FLAIR MR.
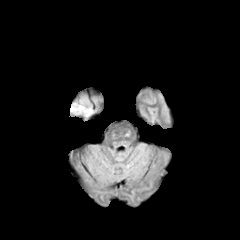
T1-weighted MRI.
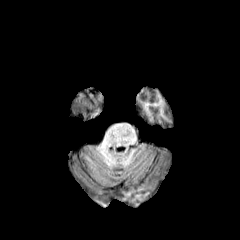
Post-contrast T1-weighted MR.
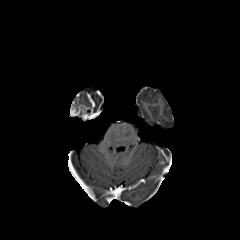
T2-weighted MRI.
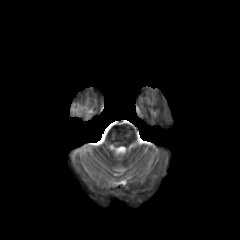
Axial plane.
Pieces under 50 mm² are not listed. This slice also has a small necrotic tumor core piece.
Annotated regions:
- enhancing tumor: {"x1": 70, "y1": 102, "x2": 92, "y2": 119}